Image size 240x240 | Axial view | Head
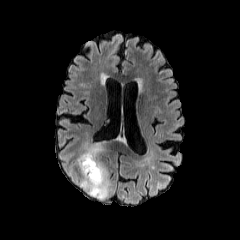
FLAIR MR image.
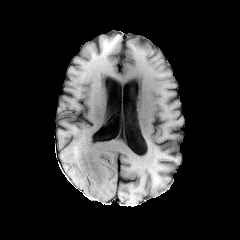
T1-weighted MR image.
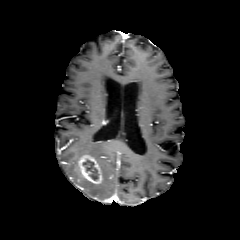
Same slice, post-contrast T1-weighted MRI.
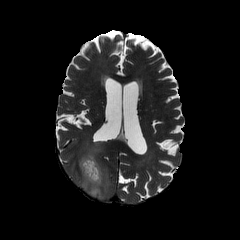
T2-weighted MR of the same slice.
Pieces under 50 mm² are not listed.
<segmentation>
  <enhancing_tumor><bbox>78, 154, 102, 184</bbox></enhancing_tumor>
  <necrotic_tumor_core><bbox>83, 159, 98, 180</bbox></necrotic_tumor_core>
  <peritumoral_edema><bbox>68, 142, 110, 200</bbox></peritumoral_edema>
</segmentation>